FLAIR MRI.
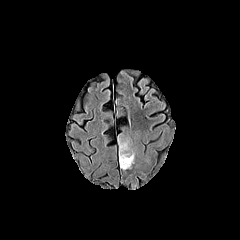
T1-weighted MRI.
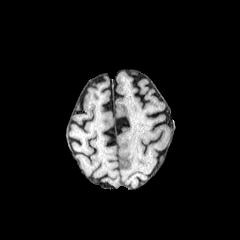
Post-contrast T1-weighted MRI.
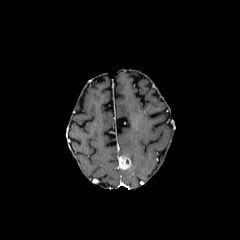
T2-weighted MR image.
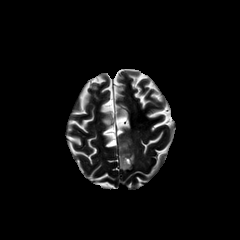
Image size 240x240. Axial view.
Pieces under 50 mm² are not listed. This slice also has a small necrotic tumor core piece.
<segmentation>
  <enhancing_tumor>[118,155,131,169]</enhancing_tumor>
  <peritumoral_edema>[118,138,134,163]</peritumoral_edema>
</segmentation>